FLAIR MR image.
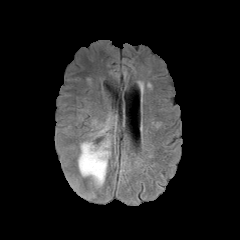
T1-weighted magnetic resonance.
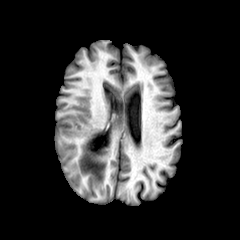
Post-contrast T1-weighted MR.
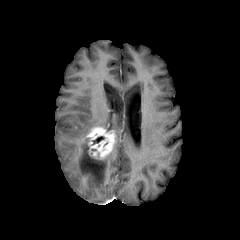
T2-weighted MR.
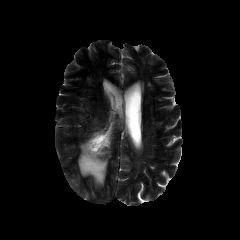
Head
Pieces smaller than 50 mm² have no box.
* peritumoral edema: box(78, 139, 110, 188); box(92, 113, 116, 131)
* necrotic tumor core: box(93, 136, 104, 144)
* enhancing tumor: box(87, 127, 114, 158)